FLAIR MRI.
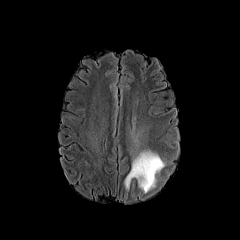
T1-weighted MR.
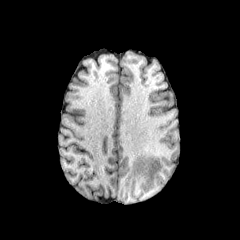
Post-contrast T1-weighted MR.
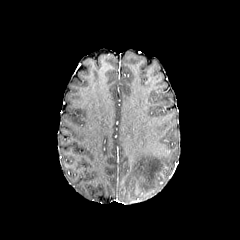
T2-weighted MRI.
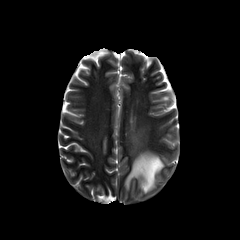
Image size 240x240. Head.
peritumoral edema at (125,151,164,193)